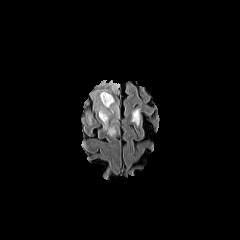
FLAIR MRI.
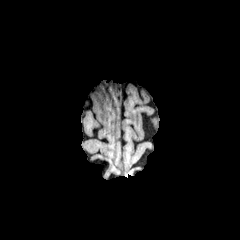
T1-weighted MR image of the same slice.
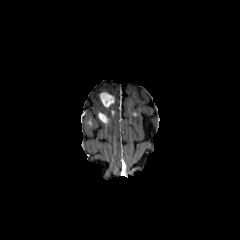
Same slice, post-contrast T1-weighted MR.
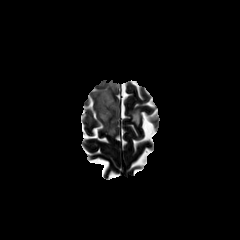
Same slice, T2-weighted MR.
Axial view.
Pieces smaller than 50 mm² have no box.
The 3 largest peritumoral edema regions appear at (left=86, top=113, right=92, bottom=125), (left=131, top=108, right=141, bottom=126), (left=91, top=80, right=119, bottom=136). The 2 largest enhancing tumor regions are located at (left=100, top=92, right=114, bottom=107), (left=98, top=112, right=108, bottom=123).